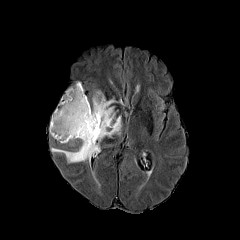
FLAIR MRI.
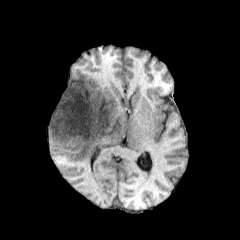
Same slice, T1-weighted MR.
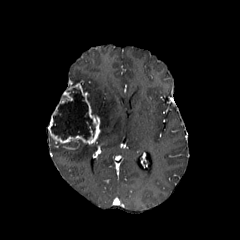
Post-contrast T1-weighted magnetic resonance.
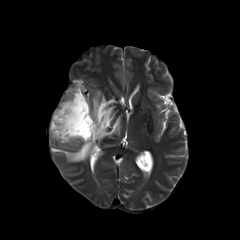
Same slice, T2-weighted MRI.
Axial plane. Head.
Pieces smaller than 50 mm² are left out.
The necrotic tumor core is at (51,88,95,139). The largest peritumoral edema region lies within (51,90,121,162). The enhancing tumor appears at (48,83,100,144).